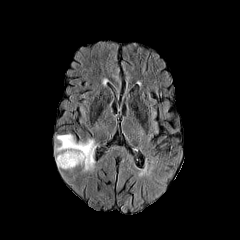
FLAIR magnetic resonance.
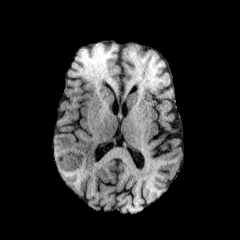
Same slice, T1-weighted magnetic resonance.
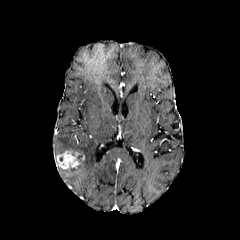
Post-contrast T1-weighted MR of the same slice.
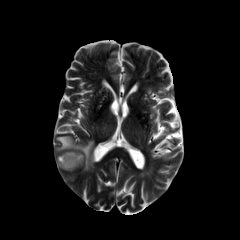
T2-weighted MR image of the same slice.
Axial slice.
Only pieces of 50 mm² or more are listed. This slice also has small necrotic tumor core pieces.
The peritumoral edema is at bbox=[56, 135, 94, 168]. The largest enhancing tumor region appears at bbox=[56, 150, 82, 168].